240x240
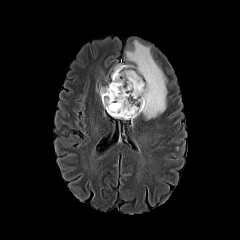
FLAIR MRI.
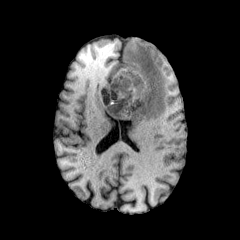
T1-weighted MR of the same slice.
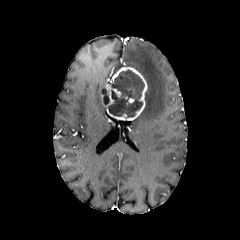
Post-contrast T1-weighted MR of the same slice.
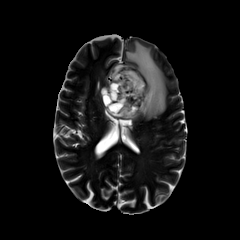
T2-weighted MR image.
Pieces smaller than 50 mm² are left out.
The largest peritumoral edema region is located at <box>112,40,167,119</box>. The largest enhancing tumor region lies within <box>105,66,147,120</box>. 2 necrotic tumor core regions appear at <box>108,70,144,117</box>, <box>102,88,109,105</box>.